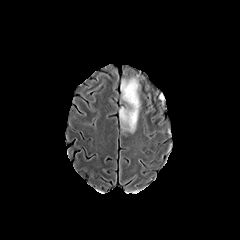
FLAIR magnetic resonance.
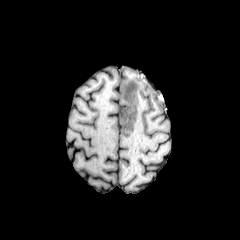
T1-weighted MR.
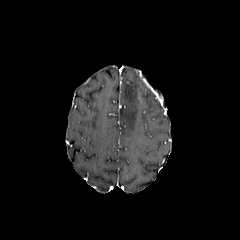
Same slice, post-contrast T1-weighted magnetic resonance.
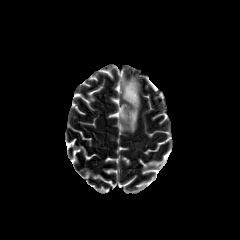
Same slice, T2-weighted magnetic resonance.
Head.
Segmented structures:
- peritumoral edema: {"x1": 119, "y1": 78, "x2": 141, "y2": 135}